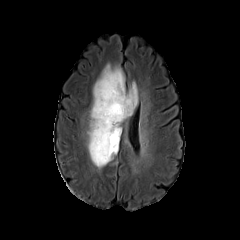
FLAIR magnetic resonance.
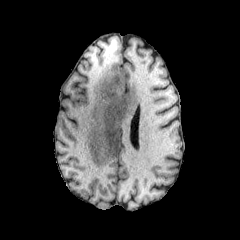
Same slice, T1-weighted magnetic resonance.
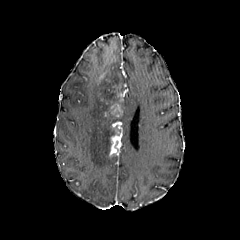
Same slice, post-contrast T1-weighted MR image.
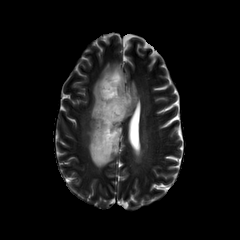
T2-weighted magnetic resonance.
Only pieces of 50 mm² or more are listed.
{"necrotic_tumor_core": ["(x1=114, y1=82, x2=123, y2=100)"], "enhancing_tumor": ["(x1=109, y1=91, x2=124, y2=118)", "(x1=108, y1=121, x2=122, y2=156)"], "peritumoral_edema": ["(x1=87, y1=63, x2=138, y2=168)"]}